Slice 89 of 155, 240x240
FLAIR magnetic resonance.
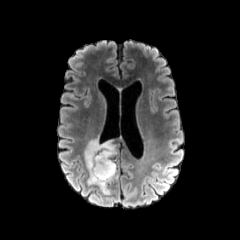
T1-weighted MR image.
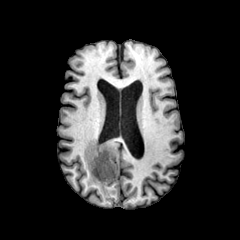
Post-contrast T1-weighted MR.
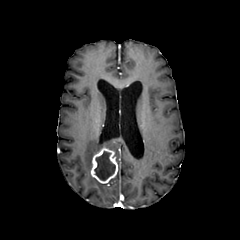
T2-weighted magnetic resonance.
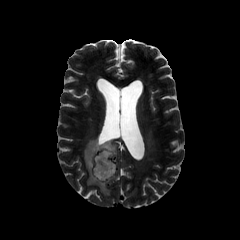
necrotic tumor core: region(94, 151, 115, 180) | enhancing tumor: region(90, 146, 118, 183) | peritumoral edema: region(84, 138, 117, 194)